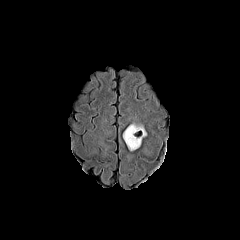
FLAIR MRI.
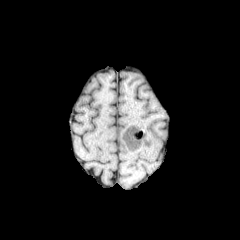
T1-weighted MR image of the same slice.
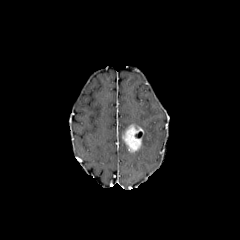
Same slice, post-contrast T1-weighted MRI.
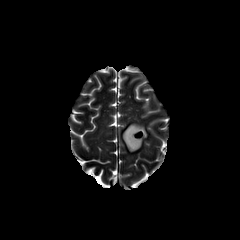
Same slice, T2-weighted magnetic resonance.
Axial view; 240x240 px
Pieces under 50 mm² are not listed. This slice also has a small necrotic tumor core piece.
enhancing tumor: l=122, t=124, r=143, b=151 | peritumoral edema: l=133, t=123, r=146, b=136